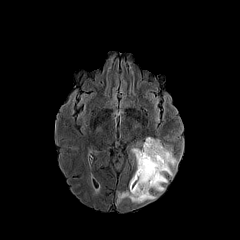
FLAIR MR image.
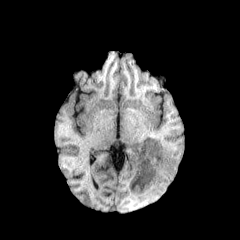
Same slice, T1-weighted MR.
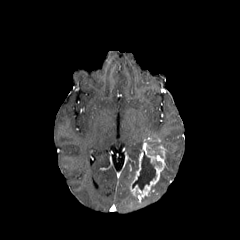
Post-contrast T1-weighted MR image.
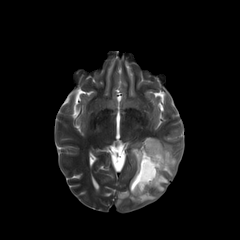
T2-weighted MR image.
Axial plane
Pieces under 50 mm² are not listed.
Findings:
* peritumoral edema: l=117, t=190, r=156, b=203; l=152, t=141, r=177, b=192; l=131, t=148, r=140, b=169
* enhancing tumor: l=130, t=137, r=165, b=199
* necrotic tumor core: l=132, t=152, r=155, b=190